FLAIR magnetic resonance.
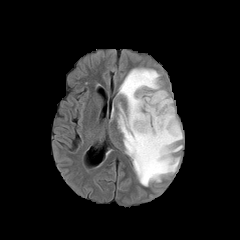
T1-weighted MR.
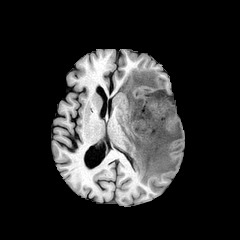
Post-contrast T1-weighted MR image.
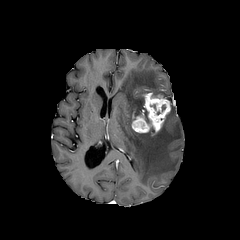
T2-weighted MR.
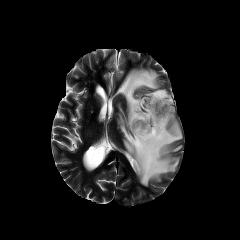
Axial slice. 240x240.
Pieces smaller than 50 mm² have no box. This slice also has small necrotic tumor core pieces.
{"enhancing_tumor": ["[131, 114, 149, 132]", "[144, 92, 170, 132]"], "peritumoral_edema": ["[118, 68, 182, 186]"]}